Slice 43 of 155, Head
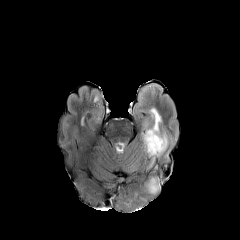
FLAIR MR.
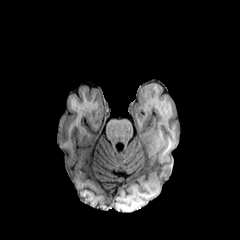
T1-weighted MR image.
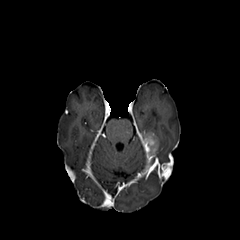
Same slice, post-contrast T1-weighted MR.
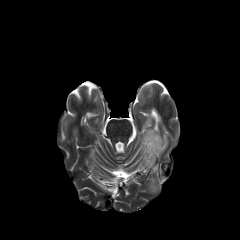
T2-weighted magnetic resonance.
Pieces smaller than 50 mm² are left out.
The largest peritumoral edema region appears at bbox=[146, 111, 166, 152]. The enhancing tumor is located at bbox=[142, 132, 158, 156].